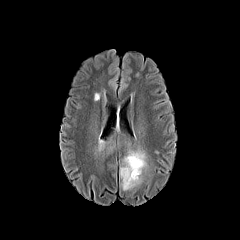
FLAIR MR.
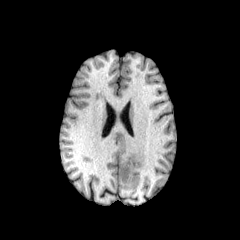
T1-weighted MR.
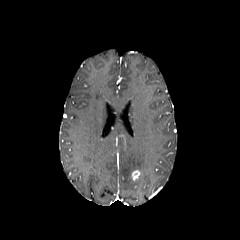
Post-contrast T1-weighted magnetic resonance of the same slice.
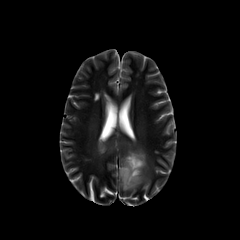
T2-weighted MR of the same slice.
enhancing tumor = bbox=[131, 170, 140, 180]
peritumoral edema = bbox=[98, 139, 104, 150]; bbox=[119, 150, 147, 190]